240x240 px | Head | Axial plane
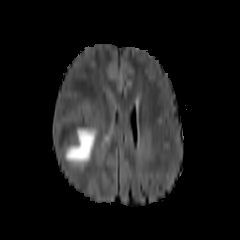
FLAIR magnetic resonance.
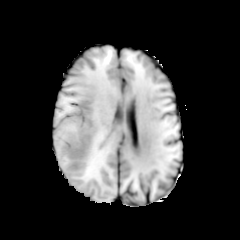
T1-weighted magnetic resonance.
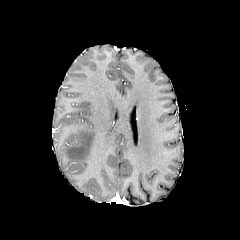
Same slice, post-contrast T1-weighted MR.
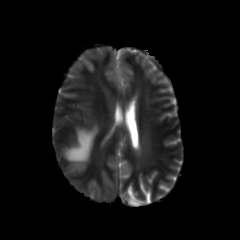
T2-weighted MR image of the same slice.
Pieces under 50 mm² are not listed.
Annotated regions:
* peritumoral edema: bbox(65, 127, 97, 161)